FLAIR MR.
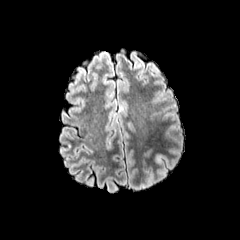
T1-weighted MR image.
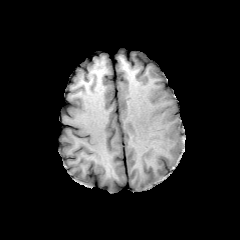
Post-contrast T1-weighted magnetic resonance.
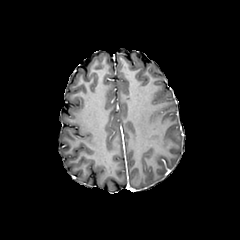
T2-weighted MR image.
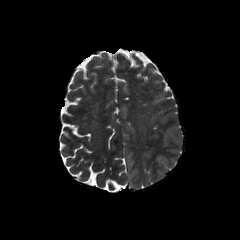
Findings:
- peritumoral edema: <box>156,155,168,165</box>